FLAIR MRI.
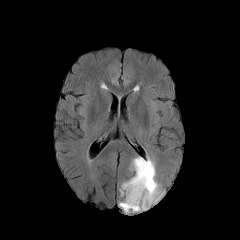
T1-weighted MR image.
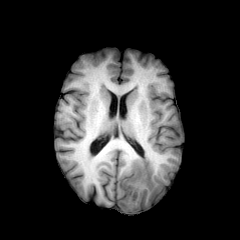
Post-contrast T1-weighted MR.
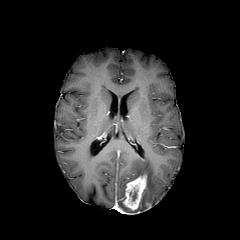
T2-weighted magnetic resonance.
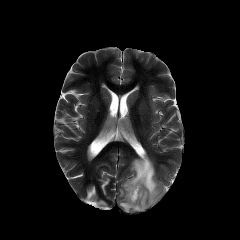
Image size 240x240
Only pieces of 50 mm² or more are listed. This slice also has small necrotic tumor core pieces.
enhancing_tumor:
  - 122:174:147:211
peritumoral_edema:
  - 120:156:164:211
  - 119:202:131:212